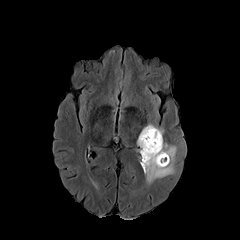
FLAIR MR image.
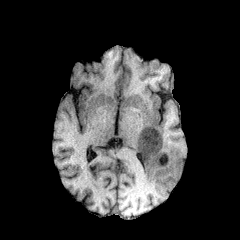
T1-weighted magnetic resonance.
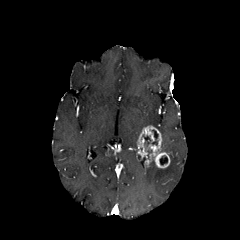
Post-contrast T1-weighted MR of the same slice.
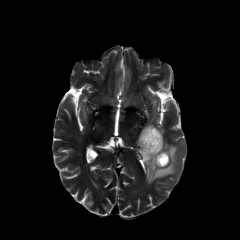
T2-weighted MR image.
240x240 px, Brain, Axial slice
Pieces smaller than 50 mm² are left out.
{"peritumoral_edema": ["bbox=[140, 140, 176, 184]"], "necrotic_tumor_core": ["bbox=[152, 130, 157, 144]", "bbox=[160, 156, 167, 164]"], "enhancing_tumor": ["bbox=[137, 125, 170, 170]"]}